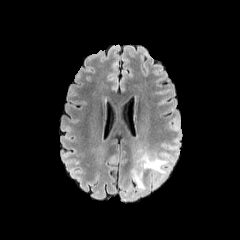
FLAIR MR image.
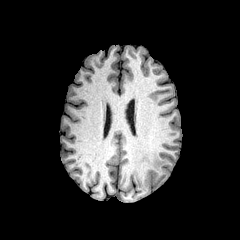
T1-weighted MR.
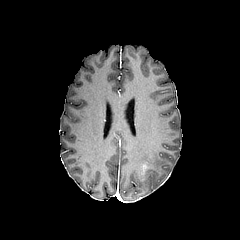
Post-contrast T1-weighted magnetic resonance of the same slice.
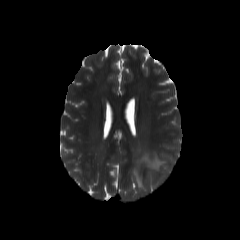
T2-weighted MR image.
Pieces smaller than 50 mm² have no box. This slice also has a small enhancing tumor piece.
Annotated regions:
* peritumoral edema: box(131, 152, 176, 191)